Image width 240 mm; Head
FLAIR MR.
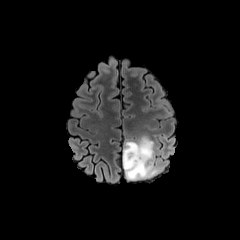
T1-weighted MR image.
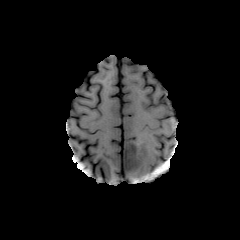
Post-contrast T1-weighted MR image.
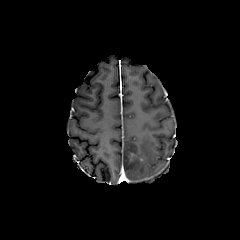
T2-weighted MRI.
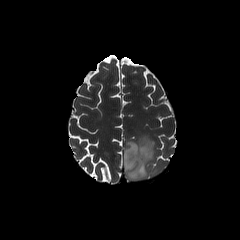
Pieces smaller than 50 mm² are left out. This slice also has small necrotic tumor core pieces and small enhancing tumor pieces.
{"peritumoral_edema": ["x1=123 y1=136 x2=164 y2=180"]}